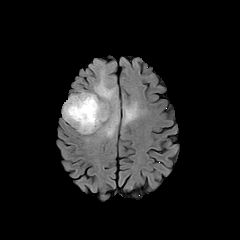
FLAIR MR image.
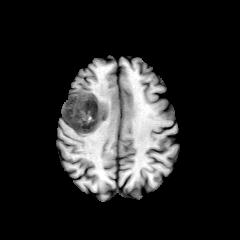
T1-weighted magnetic resonance.
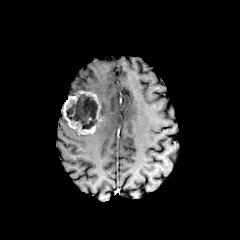
Post-contrast T1-weighted MR.
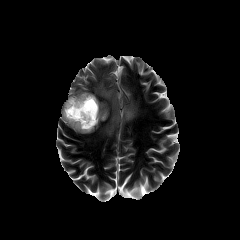
Same slice, T2-weighted MRI.
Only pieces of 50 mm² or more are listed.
The necrotic tumor core lies within [66,94,97,129]. The 2 largest peritumoral edema regions appear at [92,73,119,138], [122,100,139,126]. The largest enhancing tumor region lies within [62,90,104,134].